Slice 92 of 155; Brain; Axial view
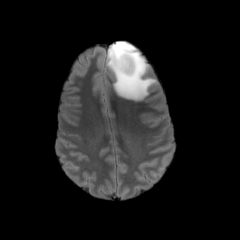
FLAIR MR.
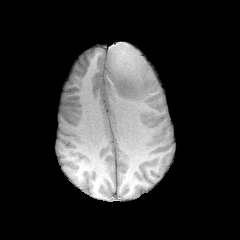
T1-weighted MR image.
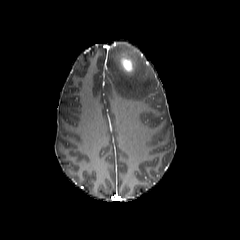
Post-contrast T1-weighted MR image.
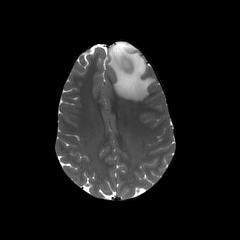
Same slice, T2-weighted magnetic resonance.
Findings:
* enhancing tumor: {"x1": 120, "y1": 56, "x2": 133, "y2": 73}
* peritumoral edema: {"x1": 107, "y1": 41, "x2": 156, "y2": 101}